FLAIR MR image.
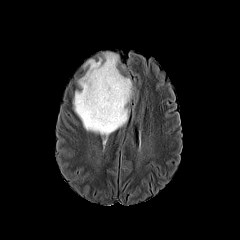
T1-weighted MR.
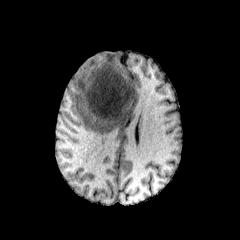
Post-contrast T1-weighted MRI.
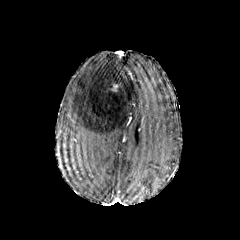
T2-weighted MRI.
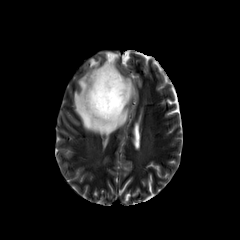
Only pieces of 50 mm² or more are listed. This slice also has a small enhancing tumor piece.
<segmentation>
  <peritumoral_edema>x1=73, y1=52, x2=133, y2=136</peritumoral_edema>
  <necrotic_tumor_core>x1=107, y1=79, x2=121, y2=94</necrotic_tumor_core>
</segmentation>